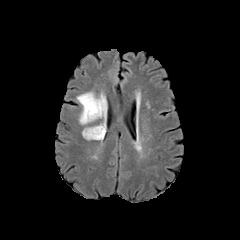
FLAIR MR.
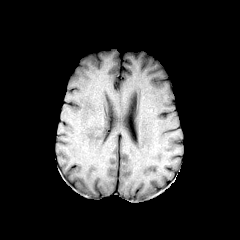
T1-weighted MR image.
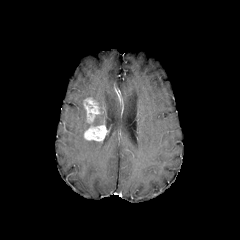
Post-contrast T1-weighted magnetic resonance.
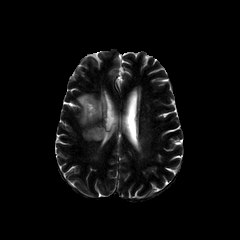
T2-weighted magnetic resonance.
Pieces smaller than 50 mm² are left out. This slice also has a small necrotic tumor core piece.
2 enhancing tumor regions appear at [83, 97, 100, 122], [84, 125, 106, 141]. The largest peritumoral edema region appears at [77, 92, 107, 125].